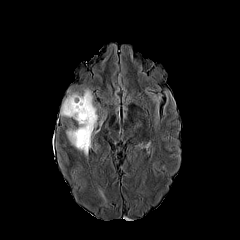
FLAIR MRI.
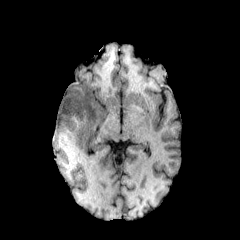
T1-weighted magnetic resonance.
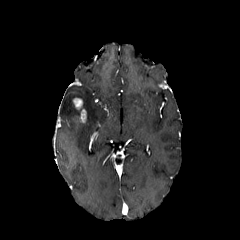
Post-contrast T1-weighted magnetic resonance.
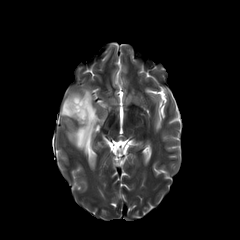
T2-weighted MR.
Head, 240x240
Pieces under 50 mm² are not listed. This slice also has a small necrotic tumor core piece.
The peritumoral edema is at left=60, top=89, right=97, bottom=154. 2 enhancing tumor regions are located at left=73, top=98, right=82, bottom=109; left=79, top=109, right=86, bottom=122.